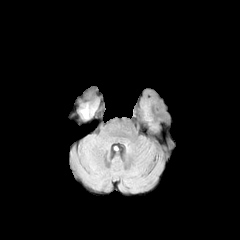
FLAIR MRI.
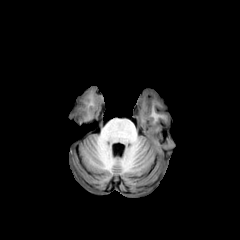
T1-weighted MR image.
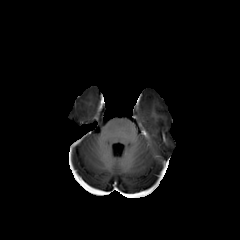
Post-contrast T1-weighted MRI.
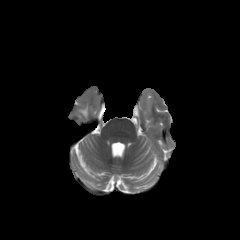
Same slice, T2-weighted MR.
Brain; Axial slice
The peritumoral edema is bounded by <bbox>80, 106, 88, 118</bbox>.